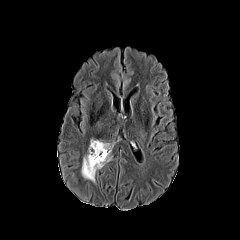
FLAIR magnetic resonance.
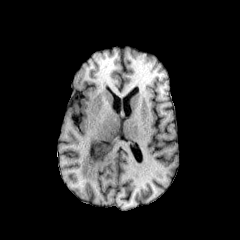
T1-weighted MRI of the same slice.
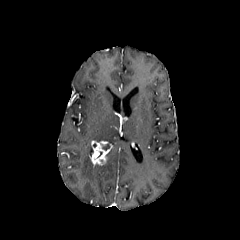
Post-contrast T1-weighted MR of the same slice.
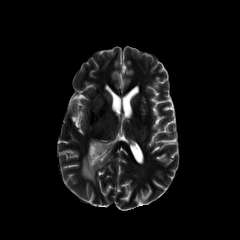
T2-weighted MR.
240x240 px | Axial plane
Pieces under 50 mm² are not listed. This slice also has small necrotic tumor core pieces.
<segmentation>
  <enhancing_tumor>bbox(90, 140, 108, 165)</enhancing_tumor>
  <peritumoral_edema>bbox(81, 144, 103, 182)</peritumoral_edema>
</segmentation>